Image size 240x240; Head
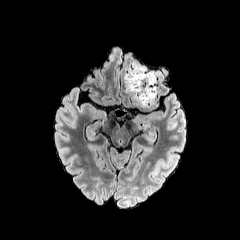
FLAIR MR.
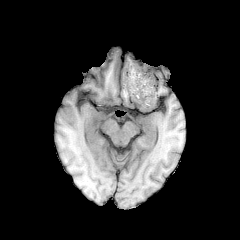
T1-weighted MR image of the same slice.
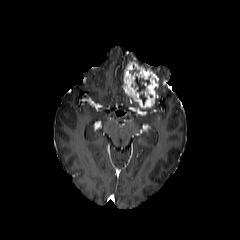
Post-contrast T1-weighted MR image of the same slice.
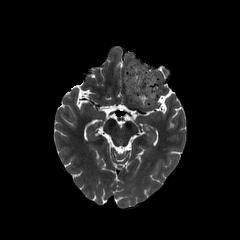
T2-weighted MR image of the same slice.
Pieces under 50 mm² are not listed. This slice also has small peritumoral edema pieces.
necrotic tumor core at x1=135, y1=76, x2=149, y2=91
enhancing tumor at x1=123, y1=61, x2=158, y2=108